Slice 112 of 155, Brain
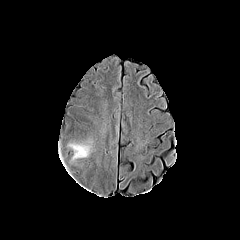
FLAIR MR image.
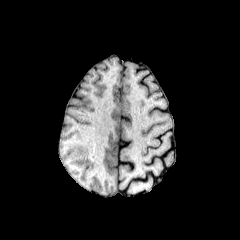
T1-weighted MR image of the same slice.
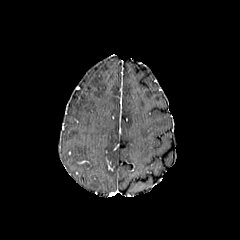
Post-contrast T1-weighted MR image.
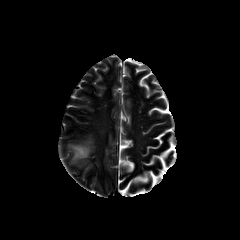
T2-weighted MRI.
peritumoral edema: bounding box (left=70, top=145, right=89, bottom=158)